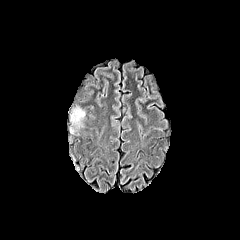
FLAIR MR image.
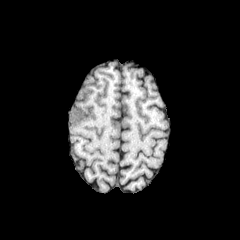
T1-weighted MR of the same slice.
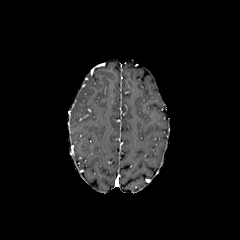
Post-contrast T1-weighted MR image.
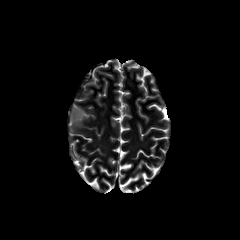
Same slice, T2-weighted MR image.
Head
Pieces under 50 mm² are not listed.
{
  "peritumoral_edema": [
    "71,107,84,127"
  ]
}